FLAIR MR image.
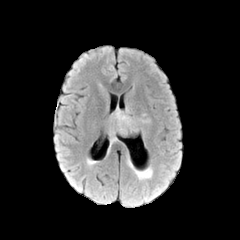
T1-weighted MRI.
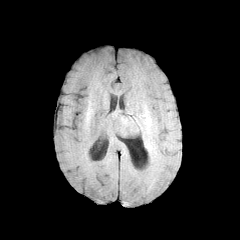
Post-contrast T1-weighted MR image.
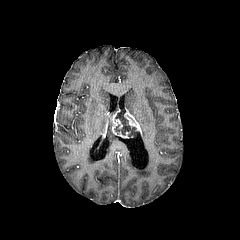
T2-weighted MRI.
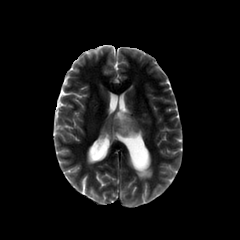
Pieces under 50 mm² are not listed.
The largest peritumoral edema region is bounded by bbox=[109, 126, 117, 140]. 2 enhancing tumor regions are bounded by bbox=[124, 109, 138, 130]; bbox=[111, 109, 129, 137]. The necrotic tumor core lies within bbox=[114, 110, 136, 135].